Brain; Slice 98/155
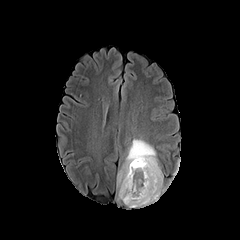
FLAIR magnetic resonance.
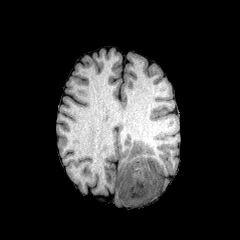
Same slice, T1-weighted MRI.
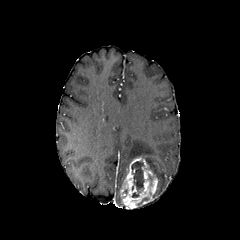
Post-contrast T1-weighted MR.
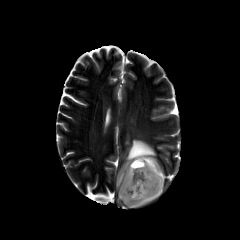
T2-weighted MR.
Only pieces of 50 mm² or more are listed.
peritumoral edema: 117 139 163 193 | necrotic tumor core: 131 161 144 192 | enhancing tumor: 119 157 158 208